Image width 240 mm. Axial slice. 240x240 px. Head. Slice 104 of 155.
FLAIR magnetic resonance.
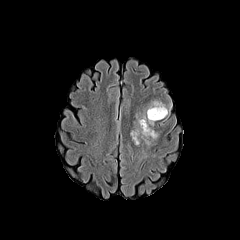
T1-weighted MR image.
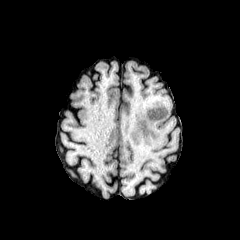
Post-contrast T1-weighted MR.
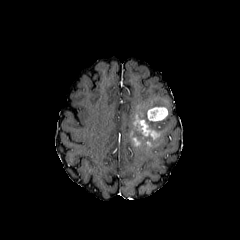
T2-weighted MRI.
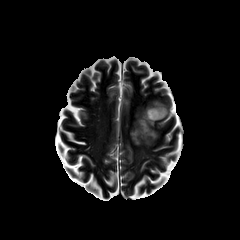
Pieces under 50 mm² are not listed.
Annotated regions:
* peritumoral edema: (left=131, top=127, right=153, bottom=143), (left=139, top=150, right=147, bottom=161), (left=134, top=99, right=172, bottom=128)
* enhancing tumor: (left=147, top=107, right=168, bottom=121), (left=134, top=115, right=159, bottom=139)